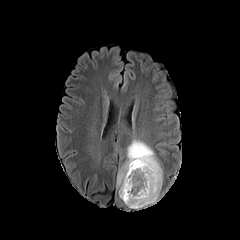
FLAIR MRI.
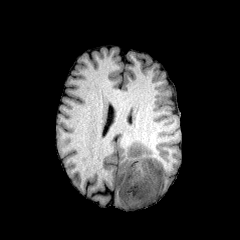
Same slice, T1-weighted MR image.
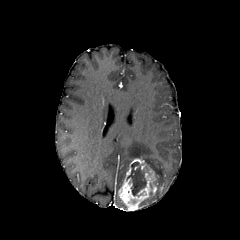
Post-contrast T1-weighted MR image.
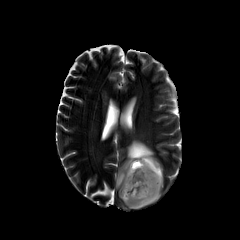
T2-weighted MRI.
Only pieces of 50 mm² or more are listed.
The largest necrotic tumor core region is bounded by x1=127, y1=162, x2=146, y2=195. The largest peritumoral edema region appears at x1=116, y1=139, x2=163, y2=193. The largest enhancing tumor region appears at x1=118, y1=159, x2=158, y2=210.